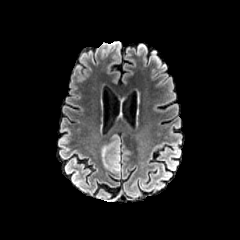
FLAIR MR image.
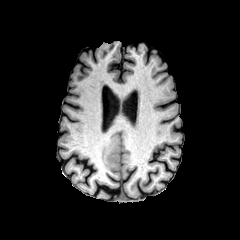
T1-weighted MR.
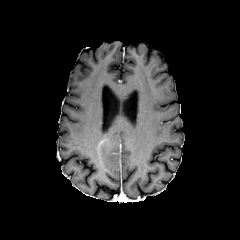
Same slice, post-contrast T1-weighted MRI.
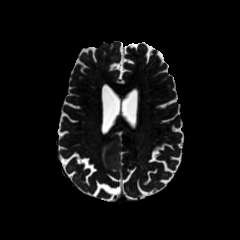
T2-weighted magnetic resonance.
Axial slice.
The peritumoral edema appears at left=101, top=133, right=120, bottom=172.